FLAIR magnetic resonance.
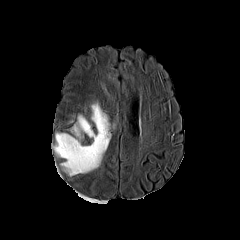
T1-weighted magnetic resonance.
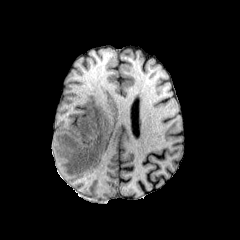
Post-contrast T1-weighted MRI.
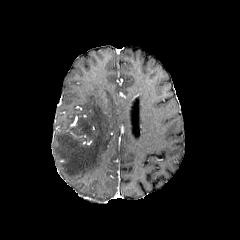
T2-weighted MR image.
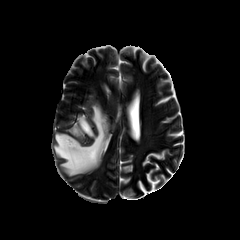
240x240 px
peritumoral edema: bounding box bbox(53, 103, 110, 176)